Image width 240 mm
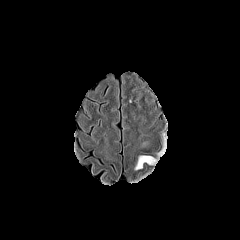
FLAIR MR.
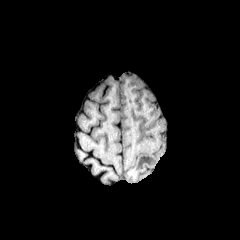
Same slice, T1-weighted MR image.
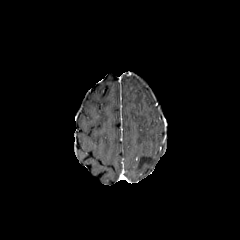
Post-contrast T1-weighted MRI of the same slice.
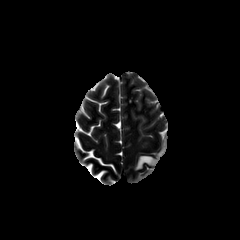
T2-weighted MR.
The peritumoral edema appears at [135, 144, 165, 169].